FLAIR MR image.
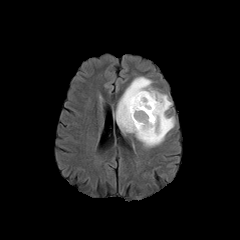
T1-weighted magnetic resonance.
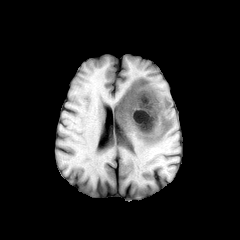
Post-contrast T1-weighted MR.
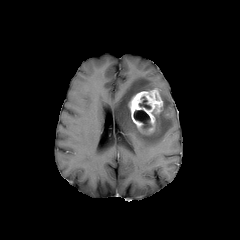
T2-weighted magnetic resonance.
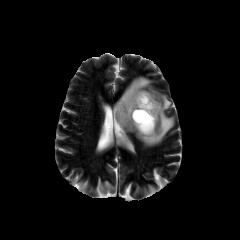
Brain, 240x240
enhancing tumor: bounding box 128:89:162:134
necrotic tumor core: bounding box 139:96:151:109, 134:110:151:129
peritumoral edema: bounding box 114:76:175:147